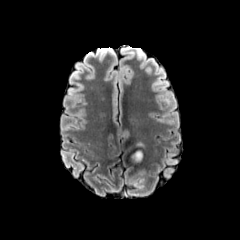
FLAIR MR image.
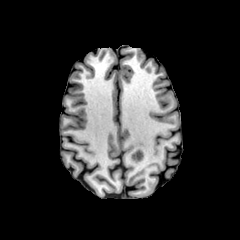
Same slice, T1-weighted MR image.
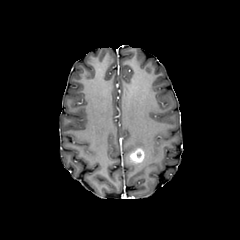
Same slice, post-contrast T1-weighted MRI.
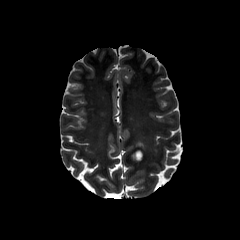
T2-weighted MR image of the same slice.
Head
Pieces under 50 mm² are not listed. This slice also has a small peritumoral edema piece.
<segmentation>
  <enhancing_tumor>(left=129, top=148, right=144, bottom=164)</enhancing_tumor>
</segmentation>